Image size 240x240. Image width 240 mm.
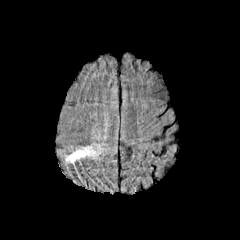
FLAIR magnetic resonance.
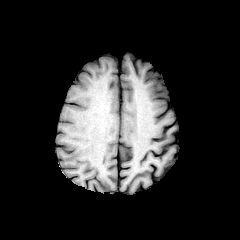
T1-weighted MR image.
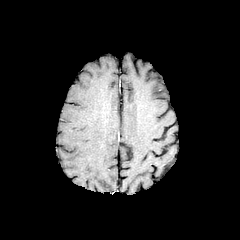
Post-contrast T1-weighted magnetic resonance of the same slice.
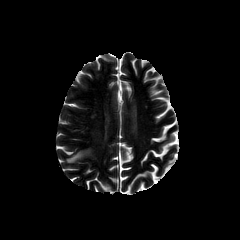
T2-weighted magnetic resonance.
<segmentation>
  <peritumoral_edema>66:146:96:162</peritumoral_edema>
</segmentation>